Head; Axial plane; Slice index 134
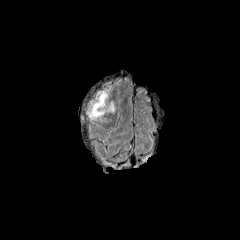
FLAIR magnetic resonance.
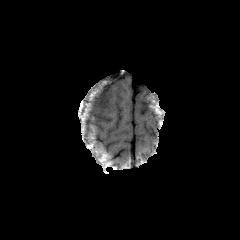
Same slice, T1-weighted MRI.
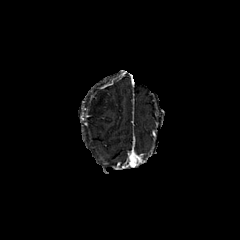
Post-contrast T1-weighted MRI of the same slice.
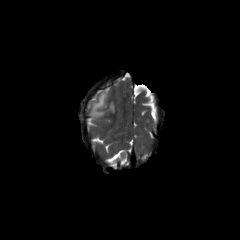
T2-weighted magnetic resonance.
Findings:
• peritumoral edema: (87,89,115,120)